FLAIR MR.
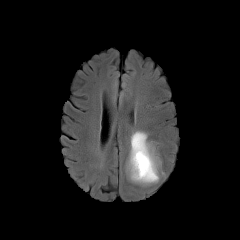
T1-weighted MR.
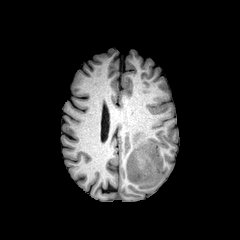
Post-contrast T1-weighted MRI.
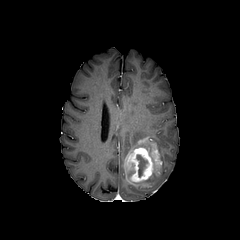
T2-weighted MR.
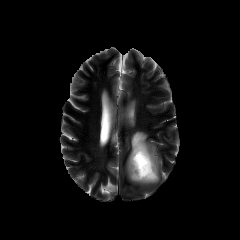
Axial view.
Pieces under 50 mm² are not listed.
The enhancing tumor is located at 125, 138, 161, 182. The 2 largest peritumoral edema regions are bounded by 132, 172, 160, 185; 129, 131, 147, 152. The necrotic tumor core appears at 136, 155, 147, 176.